Brain | Image width 240 mm, 1.00 mm slice spacing | Axial plane
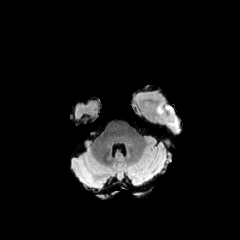
FLAIR MR.
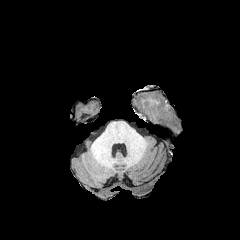
T1-weighted MRI.
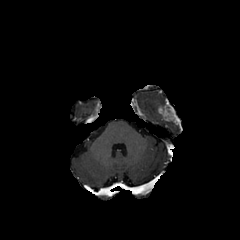
Post-contrast T1-weighted MR of the same slice.
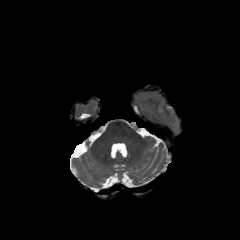
Same slice, T2-weighted MR.
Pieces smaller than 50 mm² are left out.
Annotated regions:
* peritumoral edema: bbox(166, 122, 179, 131)
* enhancing tumor: bbox(157, 103, 180, 126)